240x240 px
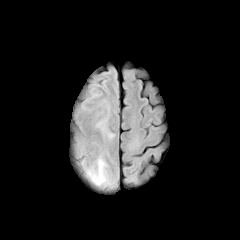
FLAIR MRI.
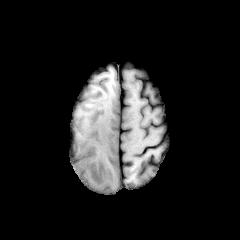
Same slice, T1-weighted MR.
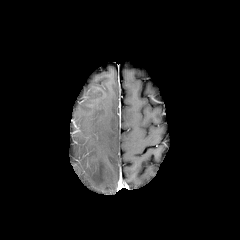
Post-contrast T1-weighted MRI of the same slice.
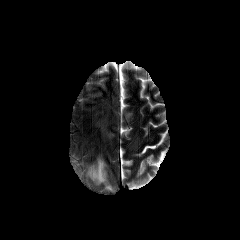
T2-weighted MR.
peritumoral_edema:
  - l=87, t=158, r=108, b=184